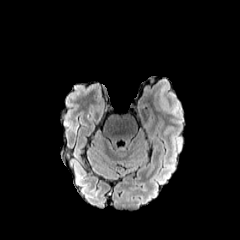
FLAIR MRI.
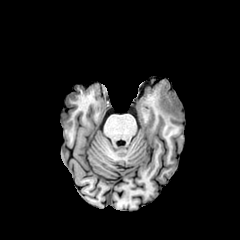
T1-weighted MR image.
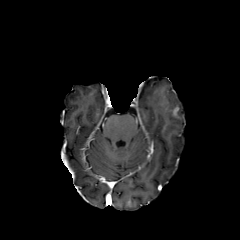
Post-contrast T1-weighted magnetic resonance.
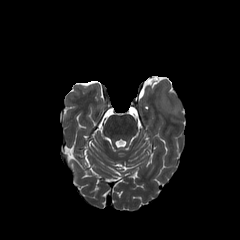
Same slice, T2-weighted magnetic resonance.
Axial view
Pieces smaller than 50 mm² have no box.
peritumoral_edema:
  - (x1=158, y1=83, x2=182, y2=121)
enhancing_tumor:
  - (x1=170, y1=106, x2=178, y2=116)